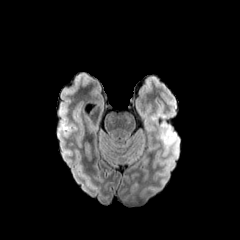
FLAIR MRI.
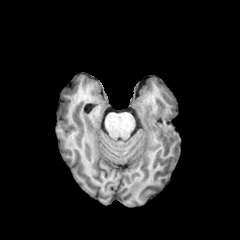
T1-weighted MRI.
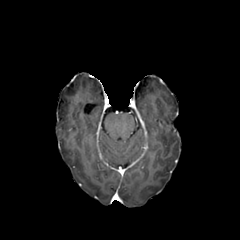
Post-contrast T1-weighted MR of the same slice.
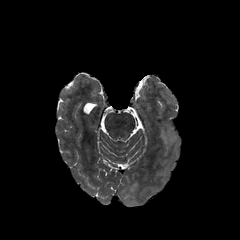
T2-weighted magnetic resonance.
240x240; Brain; Axial plane
peritumoral_edema:
  - bbox=[160, 126, 177, 146]